FLAIR MR.
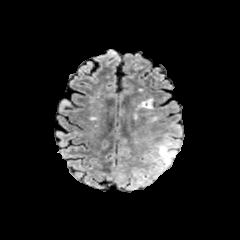
T1-weighted MR.
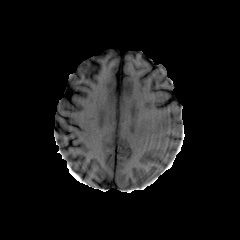
Post-contrast T1-weighted MR.
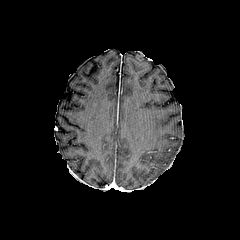
T2-weighted MR.
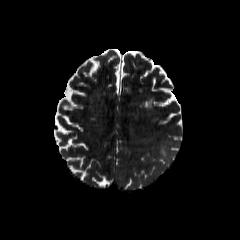
Axial plane; Brain; 240x240 px
peritumoral edema: bounding box box(155, 141, 175, 165)